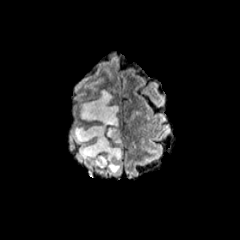
FLAIR magnetic resonance.
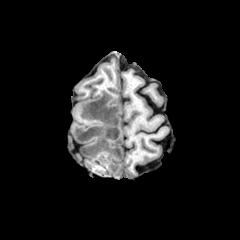
T1-weighted MRI.
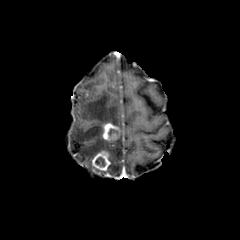
Post-contrast T1-weighted magnetic resonance of the same slice.
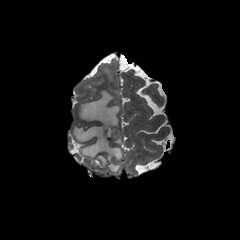
T2-weighted magnetic resonance of the same slice.
Axial view; Head
peritumoral edema = bbox=[73, 90, 122, 174]
necrotic tumor core = bbox=[95, 157, 105, 166]; bbox=[108, 128, 117, 135]
enhancing tumor = bbox=[91, 149, 110, 170]; bbox=[102, 122, 119, 141]